Axial slice, Head, Image width 240 mm, 1.00 mm slice spacing
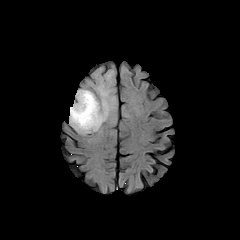
FLAIR MRI.
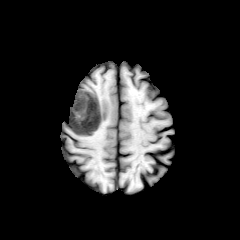
T1-weighted MR.
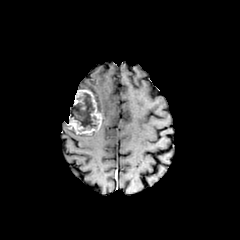
Post-contrast T1-weighted MR image.
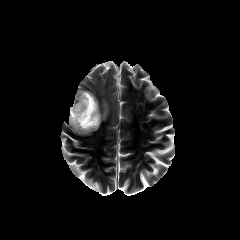
T2-weighted MR image.
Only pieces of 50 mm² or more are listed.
The necrotic tumor core appears at box=[70, 93, 96, 130]. The largest peritumoral edema region is bounded by box=[94, 78, 115, 122]. The largest enhancing tumor region is at box=[68, 89, 102, 134].